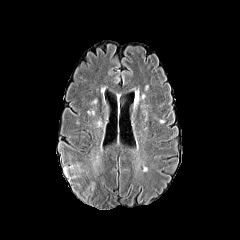
FLAIR MR image.
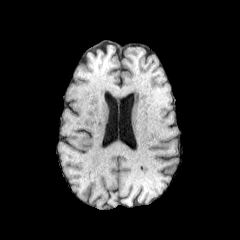
T1-weighted MR image.
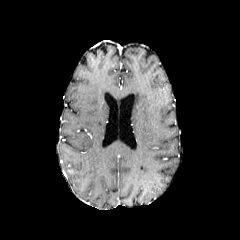
Same slice, post-contrast T1-weighted MR.
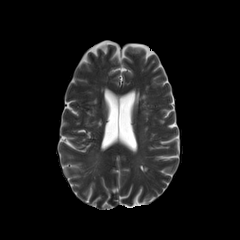
Same slice, T2-weighted MR.
Axial view
Findings:
• peritumoral edema: region(64, 166, 78, 179); region(70, 164, 81, 171)